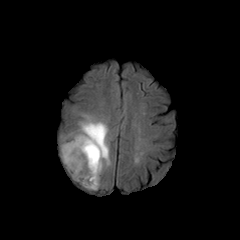
FLAIR magnetic resonance.
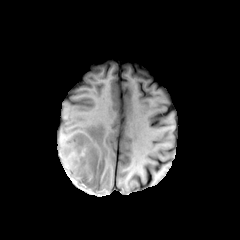
Same slice, T1-weighted MR image.
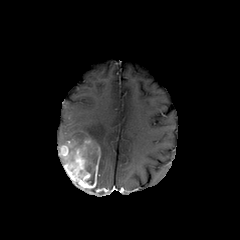
Post-contrast T1-weighted MRI.
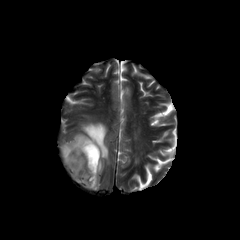
Same slice, T2-weighted MR.
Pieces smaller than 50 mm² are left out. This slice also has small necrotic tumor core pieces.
Annotated regions:
- enhancing tumor: (left=60, top=145, right=69, bottom=156), (left=64, top=137, right=100, bottom=189)
- peritumoral edema: (left=71, top=116, right=110, bottom=190), (left=59, top=141, right=74, bottom=164)